Axial view | Head
FLAIR MRI.
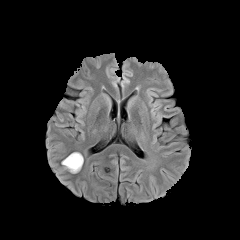
T1-weighted MR image.
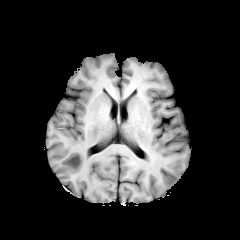
Post-contrast T1-weighted MR image.
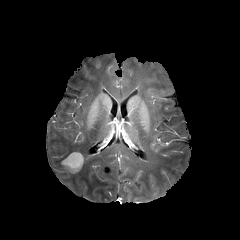
T2-weighted MR.
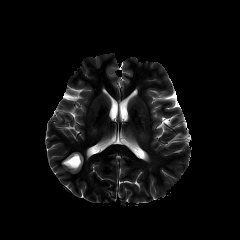
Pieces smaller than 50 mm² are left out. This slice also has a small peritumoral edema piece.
- enhancing tumor: box=[62, 152, 83, 171]